FLAIR MRI.
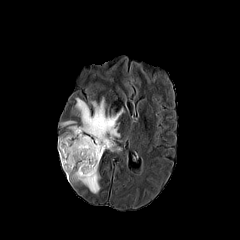
T1-weighted MRI.
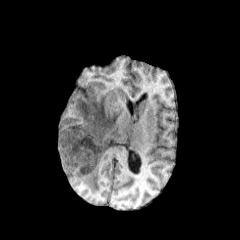
Post-contrast T1-weighted MRI.
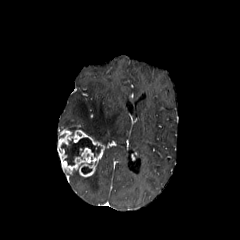
T2-weighted MR image.
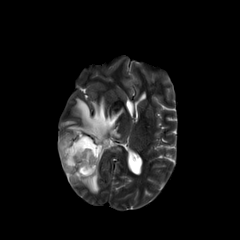
Head
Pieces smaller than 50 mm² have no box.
The largest enhancing tumor region is bounded by [x1=57, y1=129, x2=105, y2=177]. The 3 largest peritumoral edema regions are bounded by [x1=69, y1=96, x2=123, y2=151], [x1=70, y1=163, x2=100, y2=193], [x1=61, y1=120, x2=76, y2=126]. The 2 largest necrotic tumor core regions are bounded by [x1=61, y1=138, x2=100, y2=165], [x1=81, y1=166, x2=91, y2=173].